FLAIR MR.
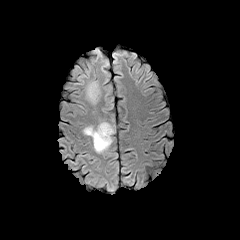
T1-weighted MR.
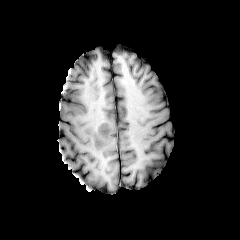
Post-contrast T1-weighted magnetic resonance.
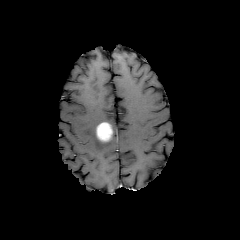
T2-weighted MR image.
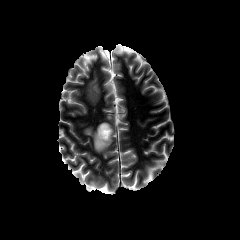
<segmentation>
  <peritumoral_edema>[86,81,99,103], [83,120,115,153]</peritumoral_edema>
  <enhancing_tumor>[96,122,113,142]</enhancing_tumor>
</segmentation>